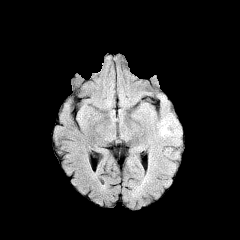
FLAIR MR image.
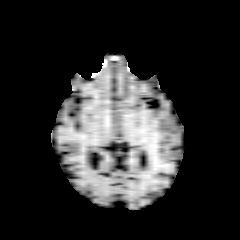
T1-weighted MR.
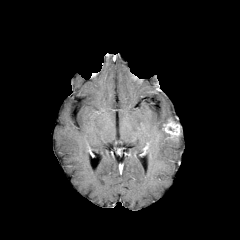
Same slice, post-contrast T1-weighted magnetic resonance.
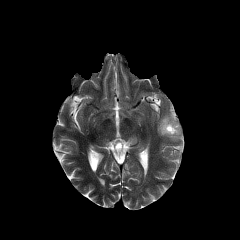
Same slice, T2-weighted MR.
Head.
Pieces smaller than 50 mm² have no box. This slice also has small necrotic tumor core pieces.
The largest peritumoral edema region is bounded by box=[158, 114, 174, 137]. The enhancing tumor is at box=[162, 117, 181, 140].